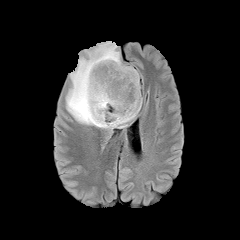
FLAIR MR.
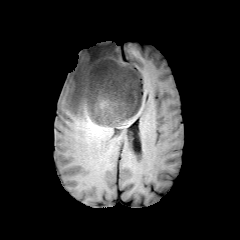
T1-weighted magnetic resonance.
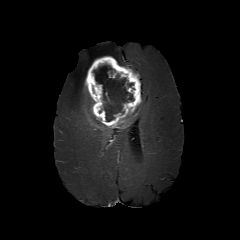
Post-contrast T1-weighted MRI of the same slice.
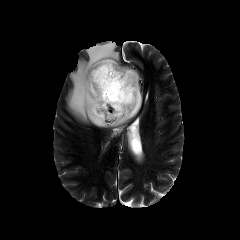
T2-weighted magnetic resonance.
Axial view | Image size 240x240 | Head
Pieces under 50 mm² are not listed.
necrotic tumor core: bounding box [93, 65, 134, 121]
peritumoral edema: bounding box [119, 116, 135, 128], [65, 41, 123, 130]
enhancing tumor: bounding box [85, 56, 141, 127]